Axial plane.
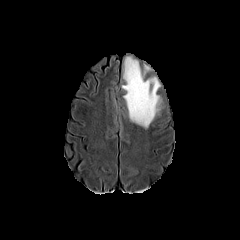
FLAIR MR.
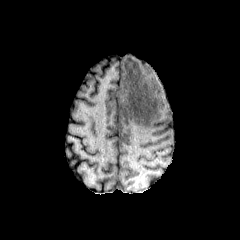
T1-weighted MR.
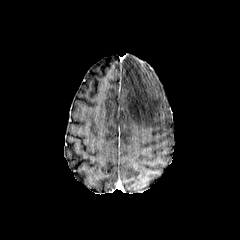
Post-contrast T1-weighted MR image of the same slice.
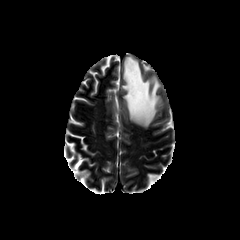
Same slice, T2-weighted magnetic resonance.
peritumoral edema at rect(122, 56, 161, 128)